FLAIR MRI.
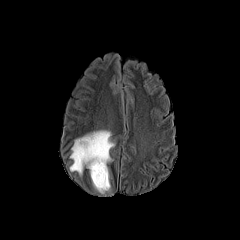
T1-weighted MR image.
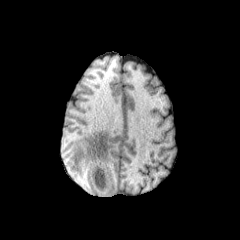
Post-contrast T1-weighted MR image.
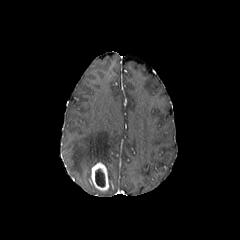
T2-weighted MR.
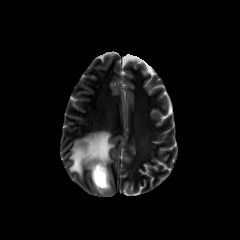
Brain | Axial slice
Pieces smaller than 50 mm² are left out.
enhancing tumor: {"x1": 91, "y1": 162, "x2": 109, "y2": 191} | necrotic tumor core: {"x1": 95, "y1": 169, "x2": 105, "y2": 187} | peritumoral edema: {"x1": 70, "y1": 130, "x2": 114, "y2": 175}